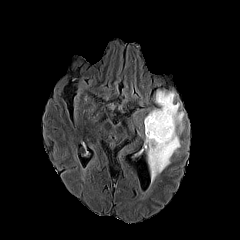
FLAIR MR image.
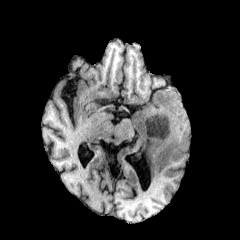
T1-weighted MR of the same slice.
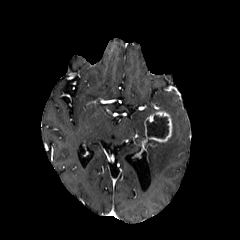
Post-contrast T1-weighted magnetic resonance of the same slice.
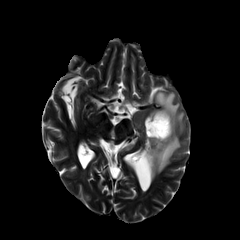
T2-weighted MR image of the same slice.
Axial slice. Head.
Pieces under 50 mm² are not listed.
{
  "necrotic_tumor_core": [
    "x1=146 y1=115 x2=168 y2=138"
  ],
  "peritumoral_edema": [
    "x1=145 y1=91 x2=184 y2=183"
  ],
  "enhancing_tumor": [
    "x1=144 y1=110 x2=172 y2=142"
  ]
}